FLAIR MR image.
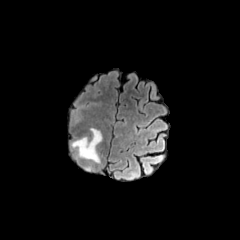
T1-weighted MR image.
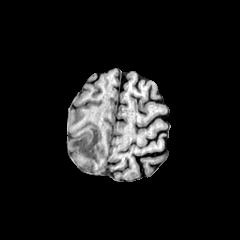
Post-contrast T1-weighted magnetic resonance.
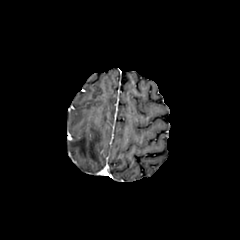
T2-weighted magnetic resonance.
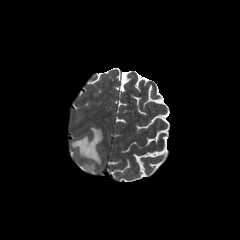
Image size 240x240, Head
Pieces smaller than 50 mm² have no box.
Findings:
- peritumoral edema: (71, 128, 102, 163)